FLAIR MR image.
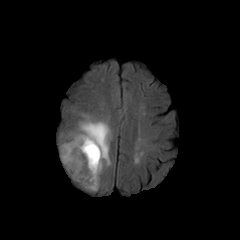
T1-weighted MR.
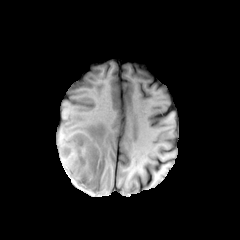
Post-contrast T1-weighted magnetic resonance.
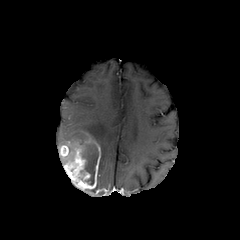
T2-weighted MR image.
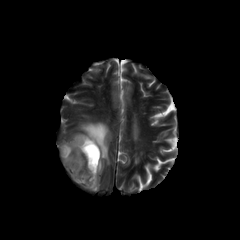
Head, 240x240 px
2 enhancing tumor regions are bounded by 63:133:101:189, 60:145:69:156. The peritumoral edema is bounded by 59:115:111:191. The necrotic tumor core is at 83:145:98:184.